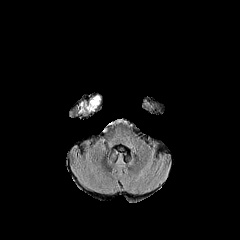
FLAIR MR image.
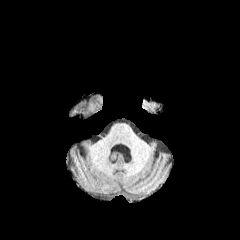
T1-weighted magnetic resonance of the same slice.
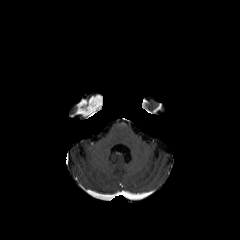
Post-contrast T1-weighted MRI of the same slice.
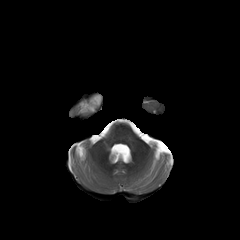
T2-weighted MRI.
The enhancing tumor is located at [76, 95, 102, 116].